FLAIR magnetic resonance.
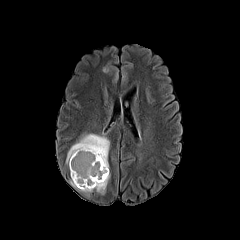
T1-weighted MR image.
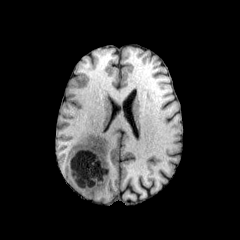
Post-contrast T1-weighted MRI.
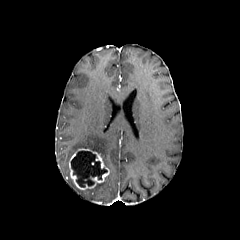
T2-weighted MR image.
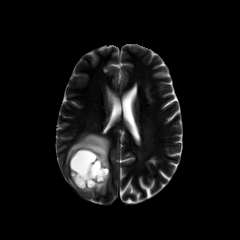
240x240 px
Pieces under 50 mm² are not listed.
The necrotic tumor core lies within bbox=[71, 151, 107, 187]. The 2 largest peritumoral edema regions appear at bbox=[66, 133, 109, 167]; bbox=[78, 174, 110, 194]. The largest enhancing tumor region appears at bbox=[69, 148, 109, 189].